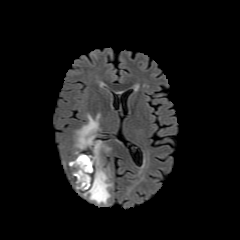
FLAIR MR.
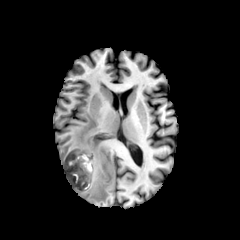
T1-weighted MRI.
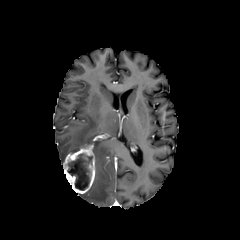
Post-contrast T1-weighted magnetic resonance.
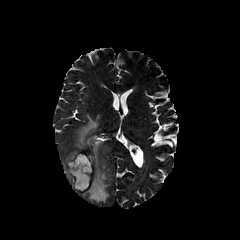
Same slice, T2-weighted MRI.
Head.
necrotic tumor core: [66, 153, 92, 190]
peritumoral edema: [74, 114, 111, 204]
enhancing tumor: [63, 143, 95, 193]